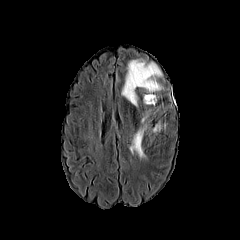
FLAIR magnetic resonance.
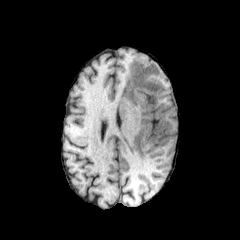
T1-weighted MR image.
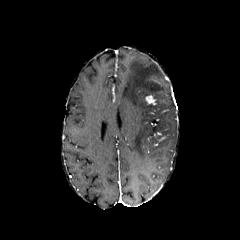
Post-contrast T1-weighted magnetic resonance of the same slice.
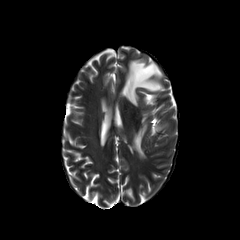
T2-weighted MR image.
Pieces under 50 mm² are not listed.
peritumoral edema: left=122, top=59, right=162, bottom=106; left=153, top=123, right=161, bottom=132; left=130, top=125, right=146, bottom=158 | enhancing tumor: left=145, top=95, right=155, bottom=104